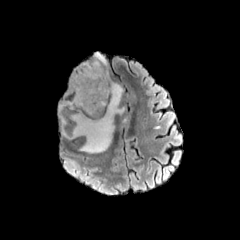
FLAIR MR image.
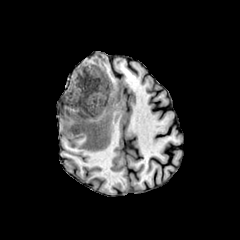
T1-weighted magnetic resonance.
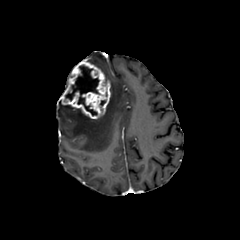
Post-contrast T1-weighted magnetic resonance.
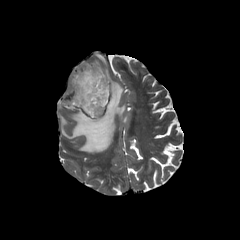
T2-weighted MRI.
Axial plane; Image size 240x240
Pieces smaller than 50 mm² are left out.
The largest necrotic tumor core region lies within left=65, top=65, right=99, bottom=115. The 3 largest peritumoral edema regions are bounded by left=60, top=82, right=124, bottom=153; left=91, top=61, right=108, bottom=79; left=95, top=53, right=106, bottom=65. The enhancing tumor is located at left=61, top=61, right=110, bottom=118.